FLAIR magnetic resonance.
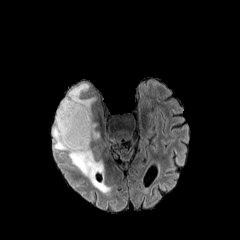
T1-weighted MR.
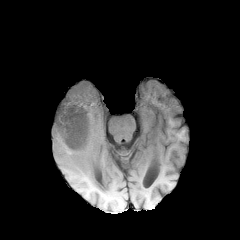
Post-contrast T1-weighted MR.
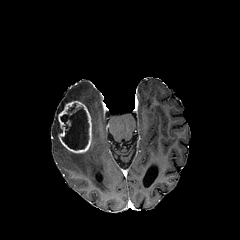
T2-weighted MR image.
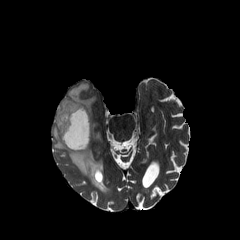
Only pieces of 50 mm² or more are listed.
Annotated regions:
* peritumoral edema: 52:83:110:193
* necrotic tumor core: 60:104:88:149
* enhancing tumor: 58:100:92:153